FLAIR MR.
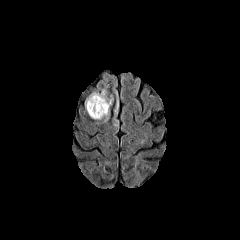
T1-weighted MR image.
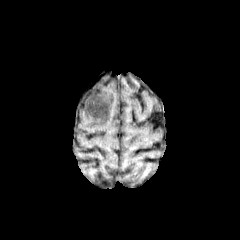
Post-contrast T1-weighted MR image.
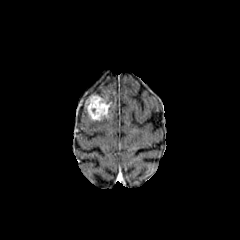
T2-weighted MR.
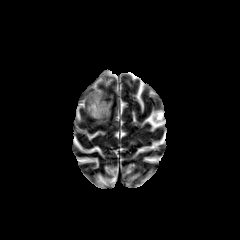
Axial slice
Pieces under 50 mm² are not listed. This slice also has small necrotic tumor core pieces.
peritumoral edema: region(112, 98, 118, 126)
enhancing tumor: region(85, 94, 111, 120)